FLAIR magnetic resonance.
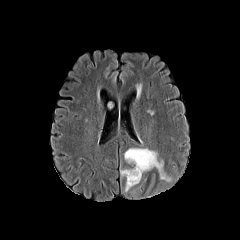
T1-weighted MRI.
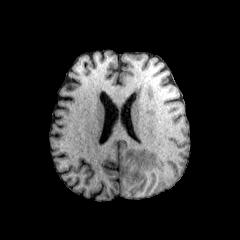
Post-contrast T1-weighted MR.
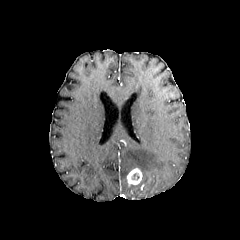
T2-weighted MRI.
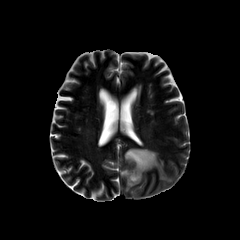
Brain
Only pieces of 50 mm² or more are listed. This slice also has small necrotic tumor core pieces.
enhancing tumor at box(127, 168, 142, 186)
peritumoral edema at box(120, 169, 132, 179); box(124, 148, 171, 181)